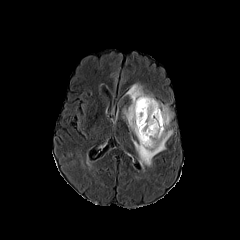
FLAIR magnetic resonance.
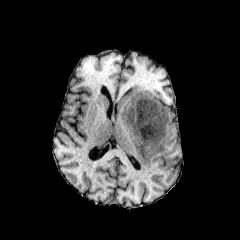
T1-weighted magnetic resonance.
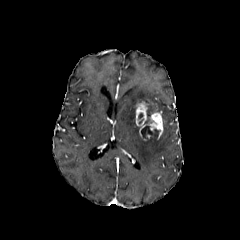
Same slice, post-contrast T1-weighted MR image.
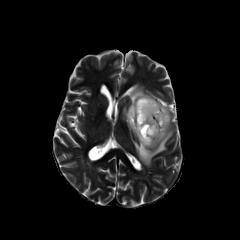
T2-weighted magnetic resonance of the same slice.
Head | Axial view
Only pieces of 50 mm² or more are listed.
peritumoral edema: bounding box 123:84:173:168
enhancing tumor: bounding box 139:110:164:140, 135:101:148:126
necrotic tumor core: bounding box 141:125:158:137